240x240, Head
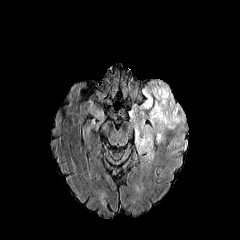
FLAIR magnetic resonance.
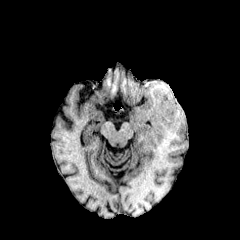
T1-weighted MR of the same slice.
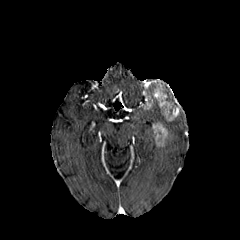
Same slice, post-contrast T1-weighted MR.
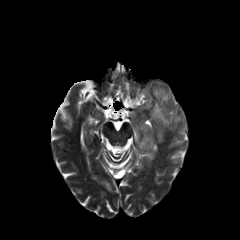
T2-weighted MR.
peritumoral edema — box(129, 80, 184, 160)
enhancing tumor — box(152, 122, 167, 145); box(153, 87, 179, 120); box(141, 88, 153, 109)